Axial slice; Slice 65/155
FLAIR magnetic resonance.
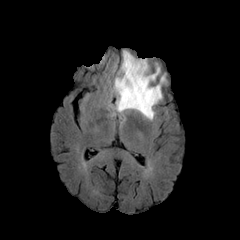
T1-weighted MR image.
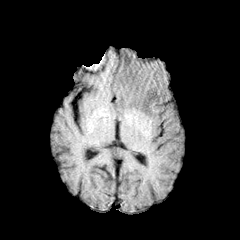
Post-contrast T1-weighted magnetic resonance.
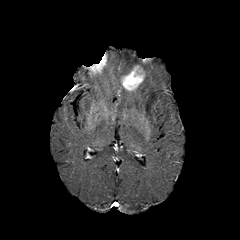
T2-weighted MR.
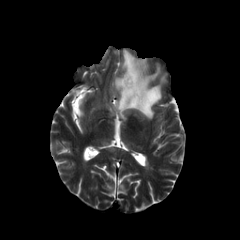
{
  "enhancing_tumor": [
    "[x1=120, y1=65, x2=144, y2=91]"
  ],
  "peritumoral_edema": [
    "[x1=113, y1=50, x2=165, y2=120]"
  ]
}